240x240. Head. Image covers 240 mm x 240 mm. Slice 93/155.
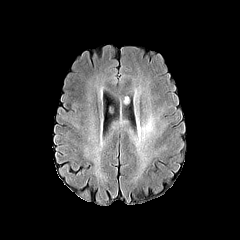
FLAIR magnetic resonance.
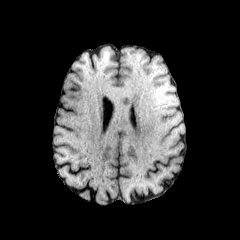
T1-weighted MR.
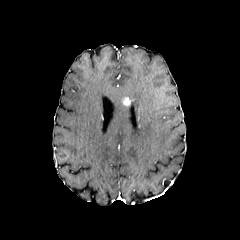
Post-contrast T1-weighted MR of the same slice.
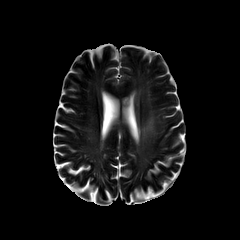
T2-weighted MRI.
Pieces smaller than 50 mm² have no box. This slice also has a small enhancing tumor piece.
Segmented structures:
- peritumoral edema: 133,109,155,148